Slice index 93, 240x240 px, Axial view
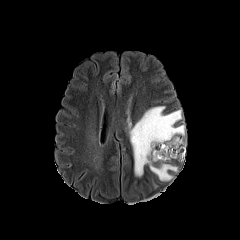
FLAIR MR image.
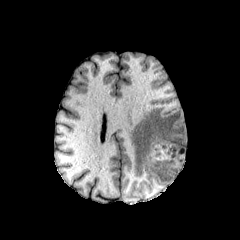
T1-weighted MR.
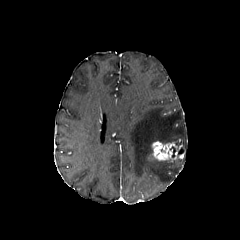
Post-contrast T1-weighted MR of the same slice.
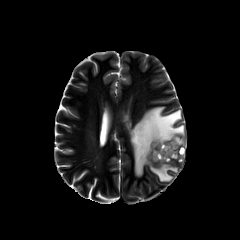
Same slice, T2-weighted MRI.
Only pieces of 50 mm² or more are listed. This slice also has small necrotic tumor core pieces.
peritumoral edema: bbox=[129, 106, 185, 181]
enhancing tumor: bbox=[148, 139, 185, 161]